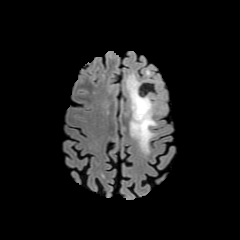
FLAIR MR image.
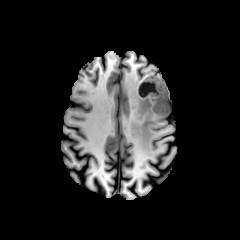
T1-weighted MRI of the same slice.
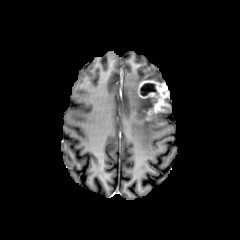
Same slice, post-contrast T1-weighted magnetic resonance.
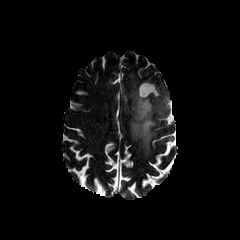
T2-weighted MR.
Axial view. 240x240.
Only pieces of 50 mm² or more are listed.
The enhancing tumor appears at (x1=138, y1=80, x2=169, y2=121). The necrotic tumor core is at (x1=141, y1=83, x2=153, y2=94). The largest peritumoral edema region is at (x1=126, y1=73, x2=157, y2=152).